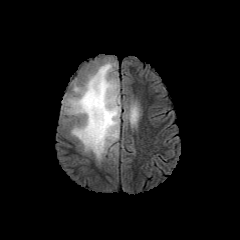
FLAIR MR.
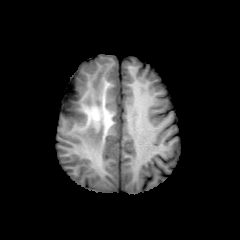
T1-weighted magnetic resonance of the same slice.
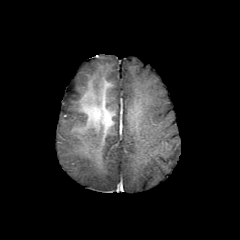
Same slice, post-contrast T1-weighted magnetic resonance.
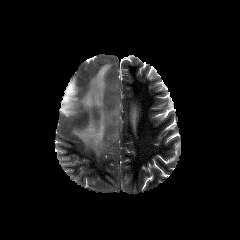
Same slice, T2-weighted MR.
Annotated regions:
• peritumoral edema: [x1=61, y1=60, x2=120, y2=161], [x1=122, y1=87, x2=141, y2=127]